FLAIR magnetic resonance.
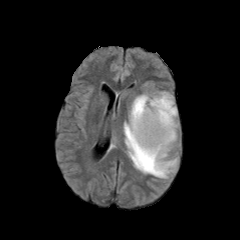
T1-weighted MRI.
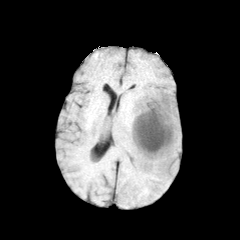
Post-contrast T1-weighted MRI.
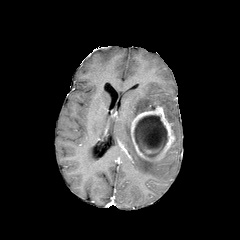
T2-weighted MRI.
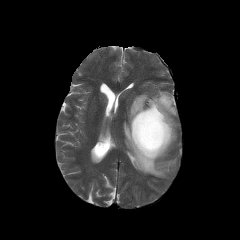
240x240 px | Head
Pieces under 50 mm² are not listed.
<segmentation>
  <necrotic_tumor_core>box=[134, 115, 167, 158]</necrotic_tumor_core>
  <peritumoral_edema>box=[123, 91, 178, 178]</peritumoral_edema>
  <enhancing_tumor>box=[131, 102, 175, 160]</enhancing_tumor>
</segmentation>